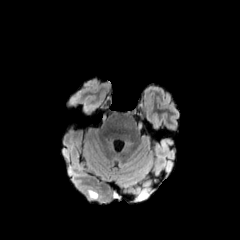
FLAIR magnetic resonance.
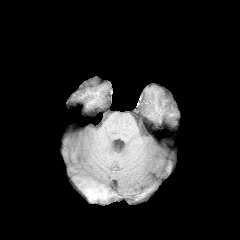
T1-weighted MRI.
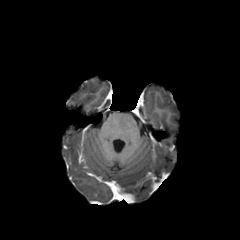
Same slice, post-contrast T1-weighted magnetic resonance.
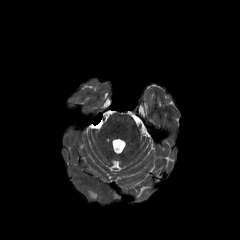
T2-weighted magnetic resonance.
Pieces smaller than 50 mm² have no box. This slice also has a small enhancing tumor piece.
Segmented structures:
- peritumoral edema: <box>87,189,99,199</box>